FLAIR MRI.
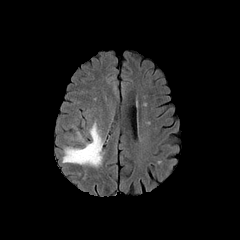
T1-weighted MR.
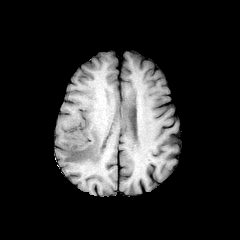
Post-contrast T1-weighted magnetic resonance.
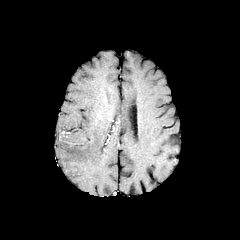
T2-weighted MRI.
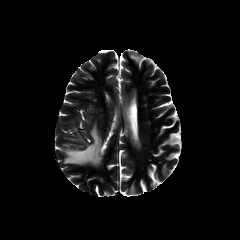
Brain.
peritumoral edema = <box>63,123,103,167</box>